FLAIR MR.
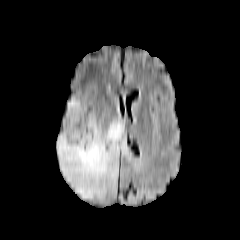
T1-weighted MRI.
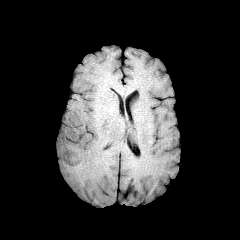
Post-contrast T1-weighted MR image.
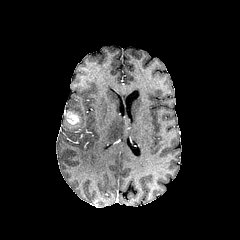
T2-weighted MR image.
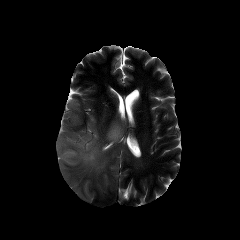
240x240. Brain.
The peritumoral edema is bounded by 56:97:129:200. The enhancing tumor lies within 66:111:79:127.